Axial view | Brain | Slice 87 of 155
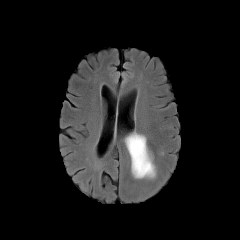
FLAIR MR image.
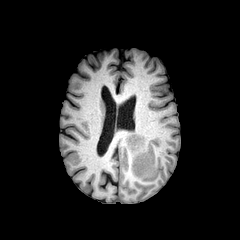
T1-weighted MR image of the same slice.
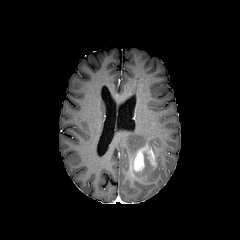
Post-contrast T1-weighted MR image of the same slice.
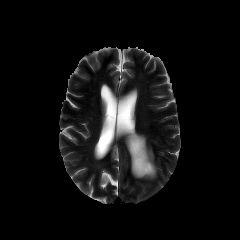
T2-weighted MR image.
<segmentation>
  <enhancing_tumor>133:147:155:171</enhancing_tumor>
  <peritumoral_edema>125:132:156:178</peritumoral_edema>
</segmentation>